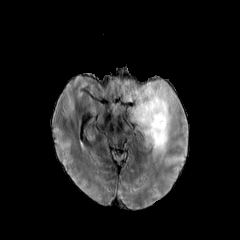
FLAIR MR image.
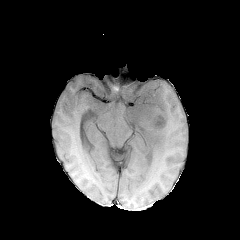
T1-weighted MR image of the same slice.
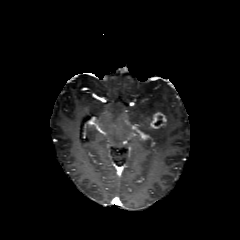
Post-contrast T1-weighted MRI.
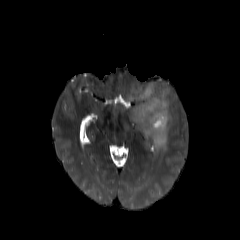
T2-weighted MR image of the same slice.
240x240 px, Brain
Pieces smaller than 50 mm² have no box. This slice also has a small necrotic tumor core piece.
The enhancing tumor lies within left=148, top=111, right=166, bottom=129. The peritumoral edema is at left=126, top=82, right=171, bottom=152.